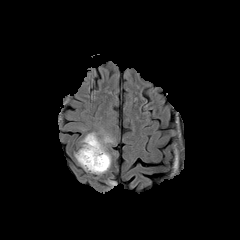
FLAIR MR image.
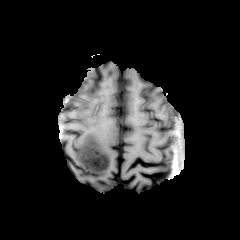
T1-weighted MR image.
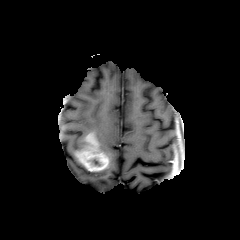
Same slice, post-contrast T1-weighted MRI.
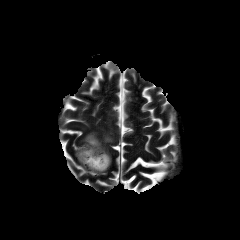
T2-weighted MRI.
Brain; 240x240
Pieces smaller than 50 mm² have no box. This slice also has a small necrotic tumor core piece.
enhancing tumor = rect(75, 133, 109, 171)
peritumoral edema = rect(77, 132, 113, 174)